240x240 | Axial plane
FLAIR MR image.
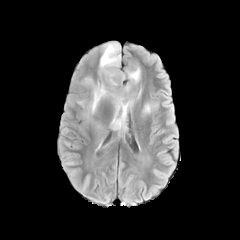
T1-weighted MR image.
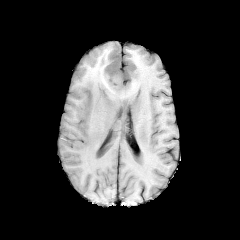
Post-contrast T1-weighted magnetic resonance.
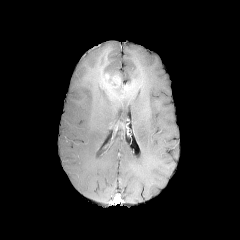
T2-weighted MR image.
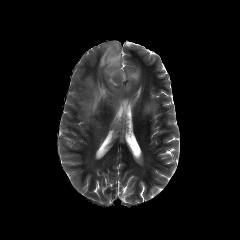
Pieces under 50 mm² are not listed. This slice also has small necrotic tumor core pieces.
* peritumoral edema: {"x1": 141, "y1": 101, "x2": 158, "y2": 116}, {"x1": 82, "y1": 42, "x2": 143, "y2": 129}
* enhancing tumor: {"x1": 104, "y1": 73, "x2": 121, "y2": 88}